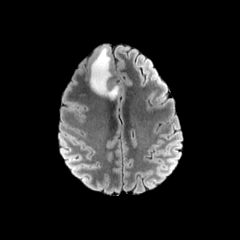
FLAIR magnetic resonance.
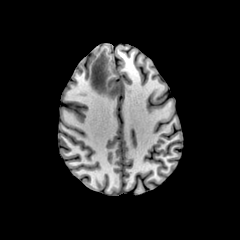
T1-weighted magnetic resonance.
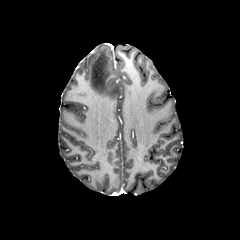
Post-contrast T1-weighted MRI of the same slice.
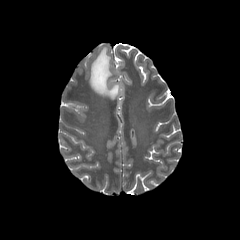
T2-weighted MRI.
Brain, 240x240
The peritumoral edema is at 90,46,119,98.